FLAIR MR image.
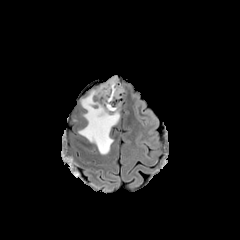
T1-weighted magnetic resonance.
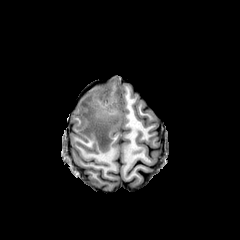
Post-contrast T1-weighted magnetic resonance.
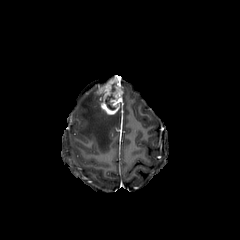
T2-weighted magnetic resonance.
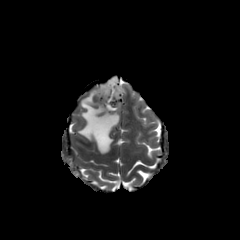
Brain | Axial plane | 240x240 px
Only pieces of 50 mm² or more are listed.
Segmented structures:
- necrotic tumor core: left=105, top=94, right=115, bottom=109
- enhancing tumor: left=97, top=76, right=123, bottom=114
- peritumoral edema: left=79, top=89, right=119, bottom=154